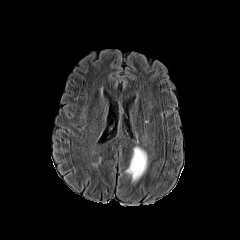
FLAIR MR.
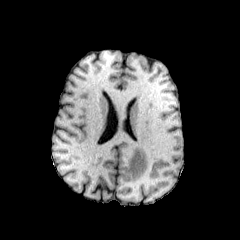
T1-weighted MRI.
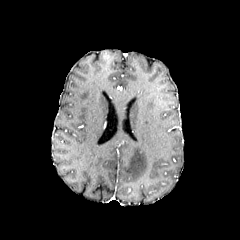
Post-contrast T1-weighted MR.
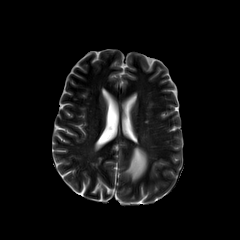
T2-weighted MR.
Head | Axial plane | 240x240 px
peritumoral edema = 125:146:148:182